Slice 98 of 155 | Image width 240 mm | 240x240
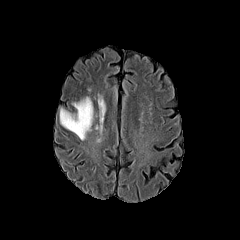
FLAIR MR.
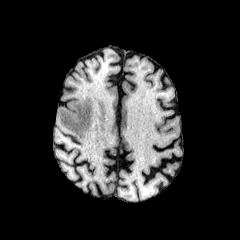
T1-weighted MRI of the same slice.
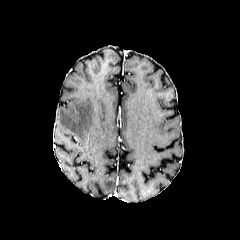
Post-contrast T1-weighted MRI of the same slice.
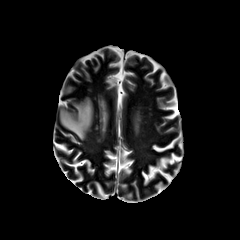
T2-weighted magnetic resonance of the same slice.
peritumoral edema at (x1=60, y1=97, x2=93, y2=140)